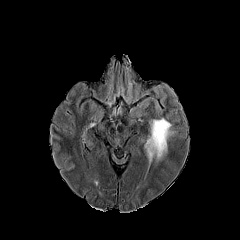
FLAIR magnetic resonance.
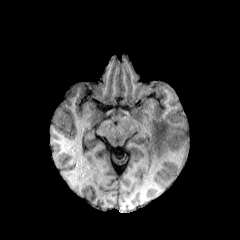
T1-weighted MR image of the same slice.
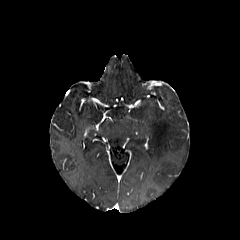
Post-contrast T1-weighted MRI of the same slice.
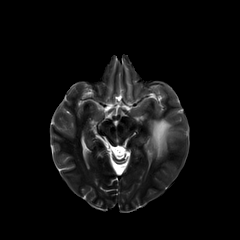
Same slice, T2-weighted MR image.
Axial view
peritumoral edema: [x1=147, y1=118, x2=173, y2=162]